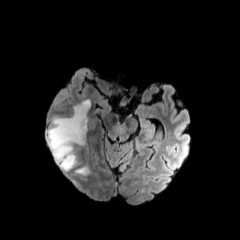
FLAIR MR.
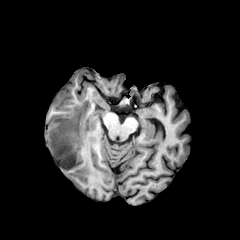
T1-weighted MR image.
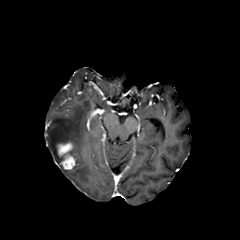
Post-contrast T1-weighted MR image.
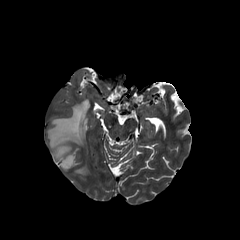
T2-weighted magnetic resonance.
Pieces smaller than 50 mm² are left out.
peritumoral edema: rect(76, 167, 88, 174); rect(47, 100, 90, 164) | enhancing tumor: rect(57, 142, 75, 169)